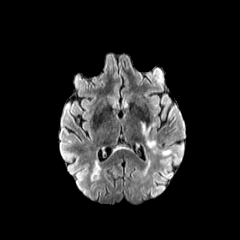
FLAIR MR.
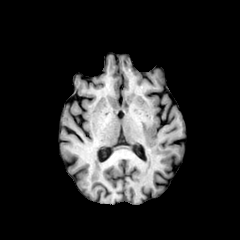
T1-weighted MRI of the same slice.
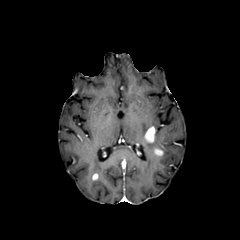
Post-contrast T1-weighted MR of the same slice.
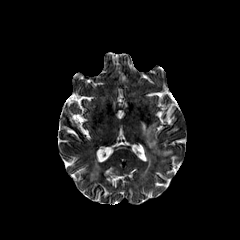
Same slice, T2-weighted magnetic resonance.
Brain
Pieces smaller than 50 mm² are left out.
peritumoral edema: region(141, 122, 147, 136); region(146, 140, 156, 152)
enhancing tumor: region(154, 148, 163, 155); region(145, 126, 155, 142)